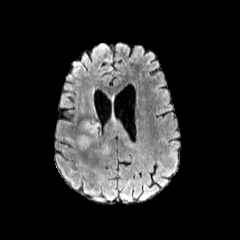
FLAIR MR image.
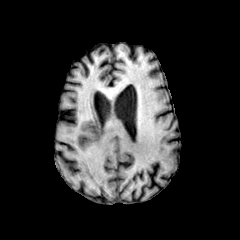
T1-weighted MR image of the same slice.
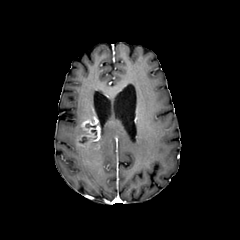
Same slice, post-contrast T1-weighted MR image.
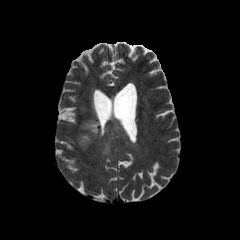
T2-weighted MR image of the same slice.
Axial view, Brain
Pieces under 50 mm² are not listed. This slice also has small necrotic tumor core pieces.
{
  "peritumoral_edema": [
    "region(97, 113, 132, 153)"
  ],
  "enhancing_tumor": [
    "region(77, 113, 99, 148)"
  ]
}